Head. 240x240.
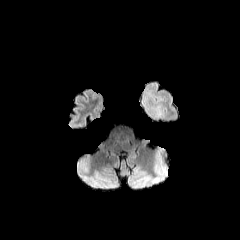
FLAIR MRI.
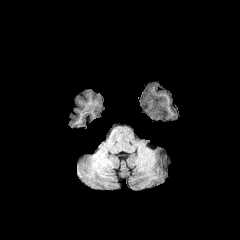
T1-weighted magnetic resonance of the same slice.
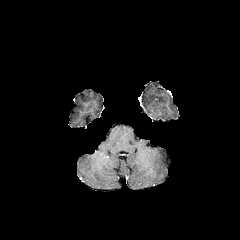
Same slice, post-contrast T1-weighted MRI.
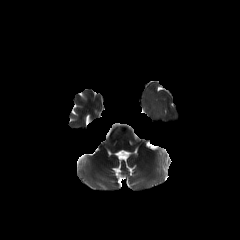
T2-weighted MR image.
{
  "peritumoral_edema": [
    "box(142, 94, 161, 119)"
  ]
}